FLAIR magnetic resonance.
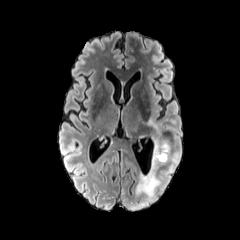
T1-weighted magnetic resonance.
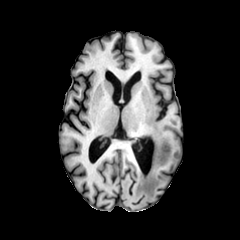
Post-contrast T1-weighted MR image.
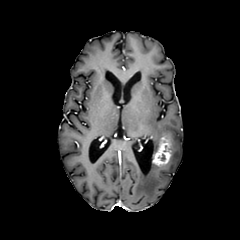
T2-weighted MRI.
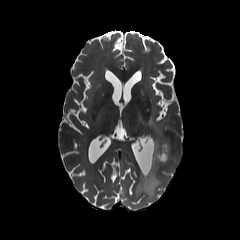
Axial slice | Brain
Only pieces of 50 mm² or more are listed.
Annotated regions:
• peritumoral edema: <box>148,119,162,153</box>, <box>135,163,160,198</box>, <box>170,152,180,163</box>
• necrotic tumor core: <box>157,150,165,160</box>
• enhancing tumor: <box>152,137,170,165</box>